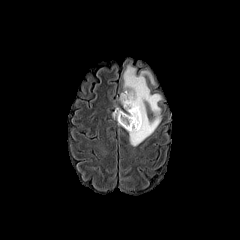
FLAIR magnetic resonance.
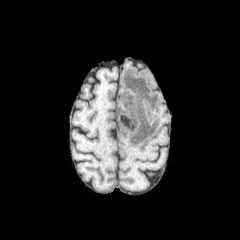
T1-weighted MRI.
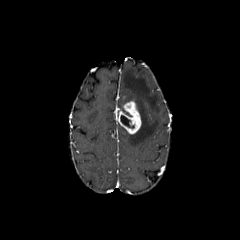
Post-contrast T1-weighted MR image of the same slice.
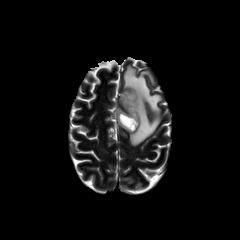
T2-weighted MRI of the same slice.
240x240 px
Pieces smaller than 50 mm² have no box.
necrotic tumor core: region(120, 115, 134, 128)
enhancing tumor: region(114, 101, 141, 134)
peritumoral edema: region(120, 60, 162, 146)